Brain
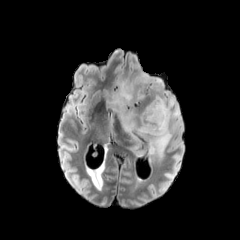
FLAIR MRI.
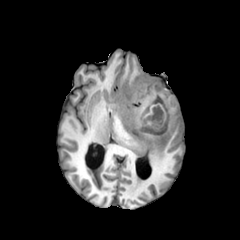
T1-weighted MR of the same slice.
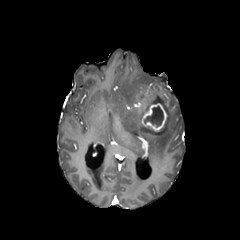
Post-contrast T1-weighted magnetic resonance.
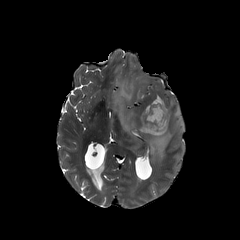
Same slice, T2-weighted MR.
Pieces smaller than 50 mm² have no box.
enhancing_tumor:
  - 142:103:167:131
necrotic_tumor_core:
  - 144:106:163:126
peritumoral_edema:
  - 109:74:181:158